Slice 120/155 | Axial view | Head
FLAIR magnetic resonance.
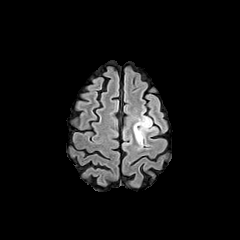
T1-weighted MRI.
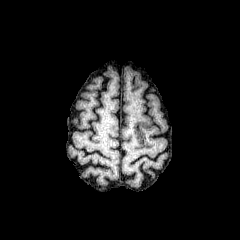
Post-contrast T1-weighted MRI.
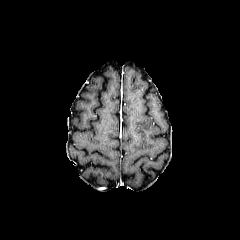
T2-weighted MRI.
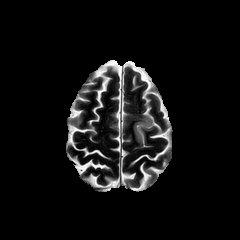
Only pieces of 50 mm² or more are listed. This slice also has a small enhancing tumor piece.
The peritumoral edema is located at (133,113,155,148).